Brain. Axial view. Slice index 53.
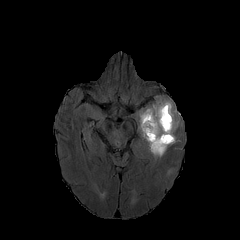
FLAIR MR image.
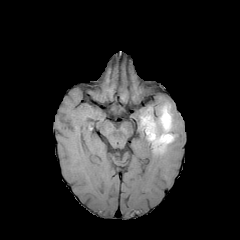
Same slice, T1-weighted MR image.
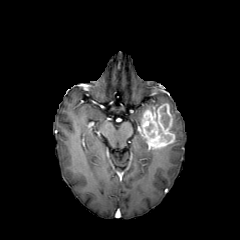
Post-contrast T1-weighted MR image.
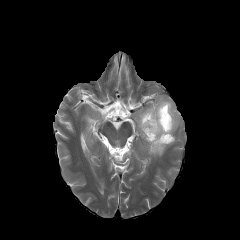
T2-weighted MR image.
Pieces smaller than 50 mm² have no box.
enhancing tumor at x1=140, y1=103, x2=174, y2=149
peritumoral edema at x1=138, y1=96, x2=179, y2=132; x1=149, y1=144, x2=171, y2=156
necrotic tumor core at x1=161, y1=108, x2=169, y2=128